FLAIR MR.
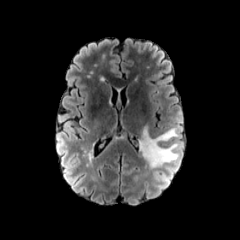
T1-weighted MR image.
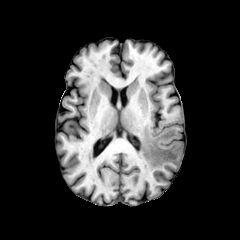
Post-contrast T1-weighted MR.
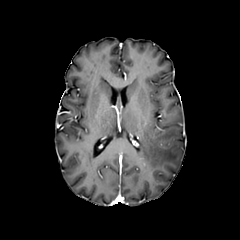
T2-weighted MRI.
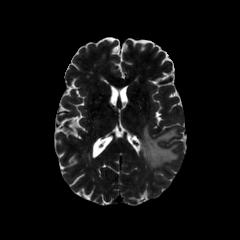
peritumoral edema: [139, 126, 180, 168]